FLAIR MRI.
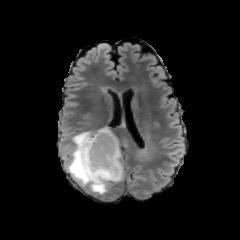
T1-weighted MRI.
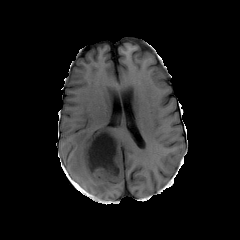
Post-contrast T1-weighted magnetic resonance.
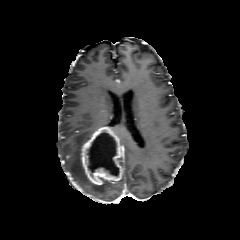
T2-weighted magnetic resonance.
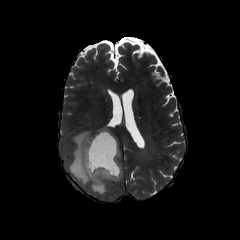
Head.
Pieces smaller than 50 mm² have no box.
enhancing_tumor:
  - x1=81, y1=126, x2=123, y2=185
necrotic_tumor_core:
  - x1=87, y1=132, x2=119, y2=176
peritumoral_edema:
  - x1=67, y1=130, x2=110, y2=194